FLAIR magnetic resonance.
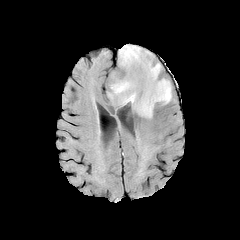
T1-weighted magnetic resonance.
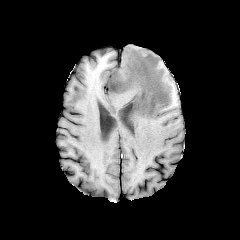
Post-contrast T1-weighted MR.
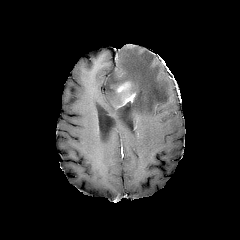
T2-weighted MR.
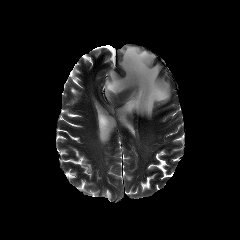
Axial plane. Brain. Image size 240x240.
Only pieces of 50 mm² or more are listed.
2 enhancing tumor regions are located at rect(124, 93, 135, 104); rect(116, 82, 130, 92). The largest peritumoral edema region is bounded by rect(107, 45, 171, 118).